FLAIR MRI.
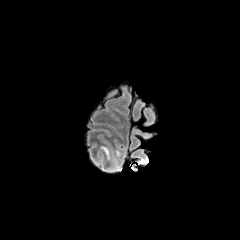
T1-weighted MR.
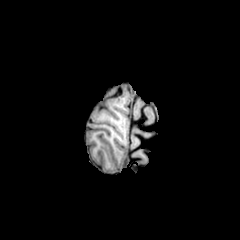
Post-contrast T1-weighted MR image.
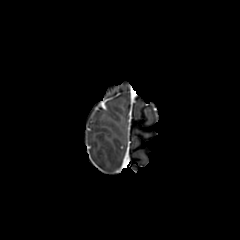
T2-weighted MR image.
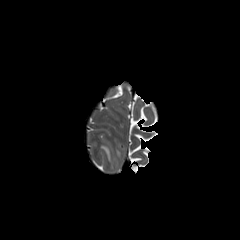
Brain. Image size 240x240.
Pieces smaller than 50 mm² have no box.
peritumoral edema: [101, 146, 111, 160]